FLAIR MR.
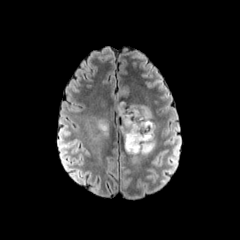
T1-weighted MRI.
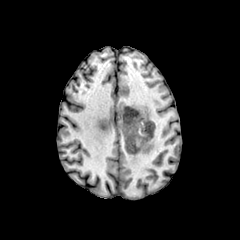
Post-contrast T1-weighted MR image.
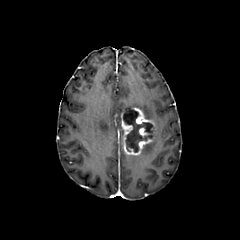
T2-weighted MR image.
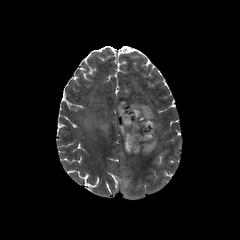
Axial plane | Image size 240x240
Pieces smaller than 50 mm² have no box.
The necrotic tumor core is located at 123,108,152,152. 2 enhancing tumor regions are bounded by 120,107,155,155; 139,128,149,137. The 4 largest peritumoral edema regions appear at 129,103,153,120; 141,126,155,153; 117,101,125,116; 97,120,111,135.